Image width 240 mm, 1.00 mm slice spacing.
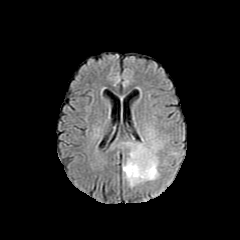
FLAIR MR.
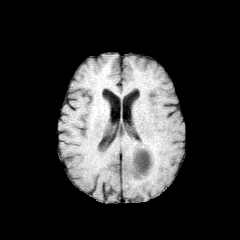
T1-weighted MR image.
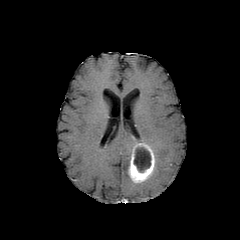
Post-contrast T1-weighted magnetic resonance of the same slice.
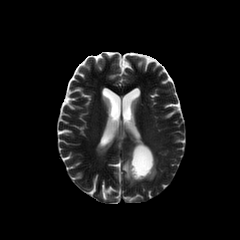
T2-weighted MRI.
peritumoral edema: {"x1": 108, "y1": 141, "x2": 139, "y2": 187}, {"x1": 141, "y1": 131, "x2": 161, "y2": 183} | enhancing tumor: {"x1": 128, "y1": 143, "x2": 155, "y2": 182} | necrotic tumor core: {"x1": 134, "y1": 147, "x2": 150, "y2": 171}